FLAIR MRI.
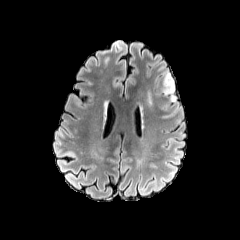
T1-weighted MR.
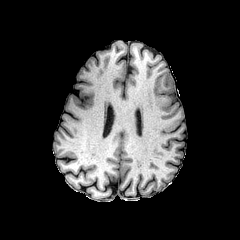
Post-contrast T1-weighted magnetic resonance.
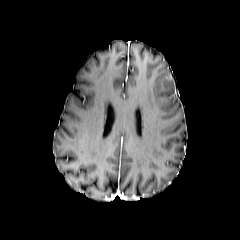
T2-weighted MRI.
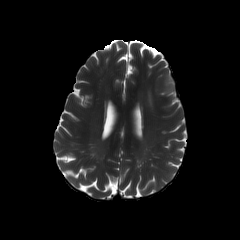
Axial slice
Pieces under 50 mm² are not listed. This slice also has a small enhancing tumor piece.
peritumoral edema: bounding box rect(148, 71, 178, 113)